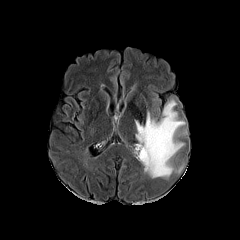
FLAIR MR image.
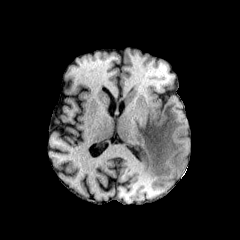
T1-weighted MR.
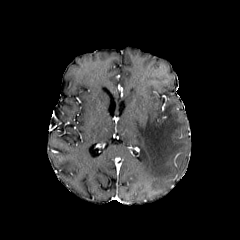
Same slice, post-contrast T1-weighted magnetic resonance.
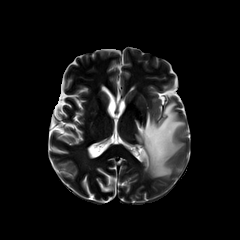
T2-weighted MRI of the same slice.
Axial slice; Head
• peritumoral edema: [x1=133, y1=100, x2=185, y2=179]